FLAIR MR.
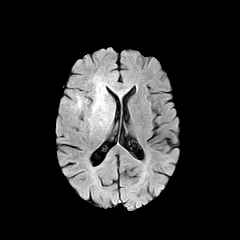
T1-weighted MRI.
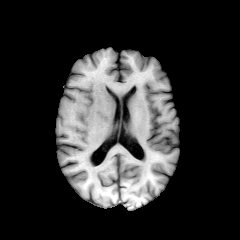
Post-contrast T1-weighted MR.
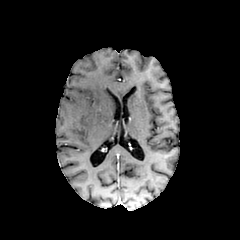
T2-weighted magnetic resonance.
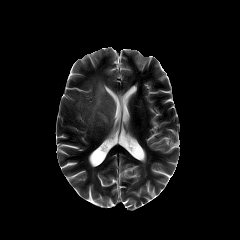
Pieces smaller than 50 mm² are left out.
Findings:
* peritumoral edema: 76 96 82 108, 88 76 114 127